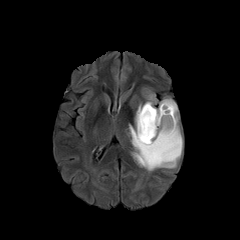
FLAIR magnetic resonance.
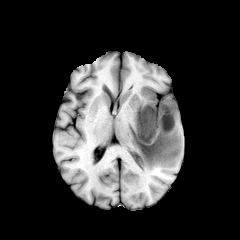
T1-weighted MR.
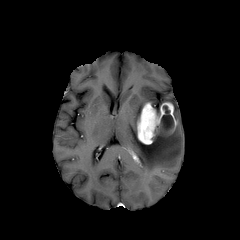
Post-contrast T1-weighted magnetic resonance of the same slice.
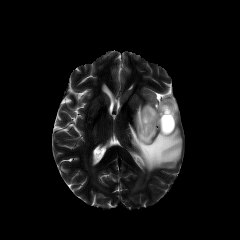
T2-weighted MR.
Brain | Image size 240x240
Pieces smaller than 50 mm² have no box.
<segmentation>
  <enhancing_tumor>137 102 177 144</enhancing_tumor>
  <necrotic_tumor_core>161 106 173 133</necrotic_tumor_core>
  <peritumoral_edema>146 94 156 107, 129 98 182 171</peritumoral_edema>
</segmentation>